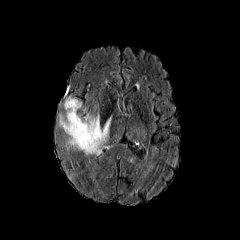
FLAIR MR.
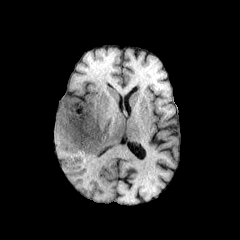
T1-weighted magnetic resonance.
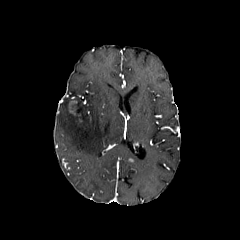
Post-contrast T1-weighted MR of the same slice.
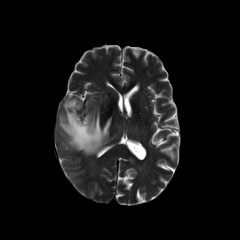
T2-weighted MR image of the same slice.
240x240
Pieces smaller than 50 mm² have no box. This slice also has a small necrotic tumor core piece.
Findings:
- peritumoral edema: <bbox>59, 98, 111, 155</bbox>
- enhancing tumor: <bbox>68, 100, 81, 116</bbox>